240x240 px; Slice 68 of 155
FLAIR MRI.
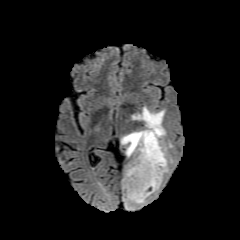
T1-weighted MR image.
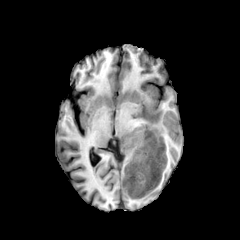
Post-contrast T1-weighted magnetic resonance.
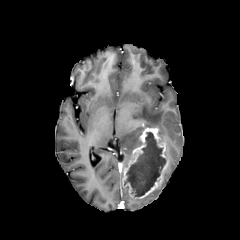
T2-weighted magnetic resonance.
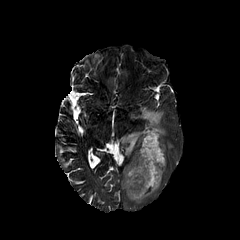
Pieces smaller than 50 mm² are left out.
enhancing tumor = [x1=122, y1=127, x2=168, y2=198]
peritumoral edema = [x1=132, y1=106, x2=166, y2=139], [x1=124, y1=185, x2=160, y2=208], [x1=121, y1=130, x2=143, y2=157], [x1=165, y1=142, x2=172, y2=158]
necrotic tumor core = [x1=124, y1=132, x2=166, y2=196]